Slice 39 of 155; Axial plane
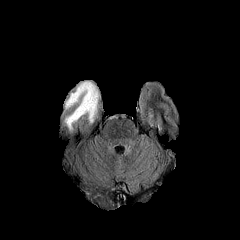
FLAIR MRI.
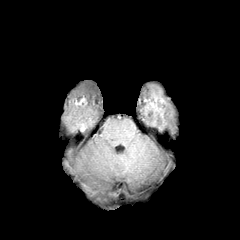
T1-weighted MRI.
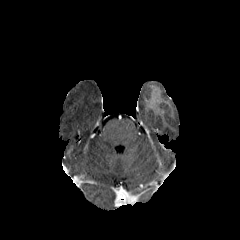
Post-contrast T1-weighted MRI.
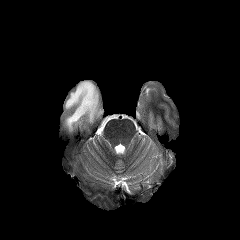
T2-weighted MR image of the same slice.
peritumoral_edema:
  - box=[64, 81, 99, 131]